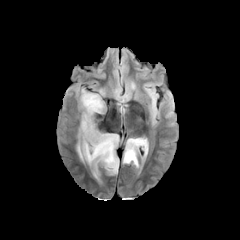
FLAIR MR image.
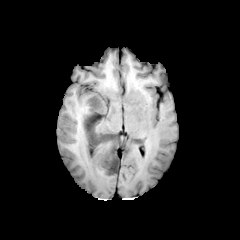
T1-weighted MRI of the same slice.
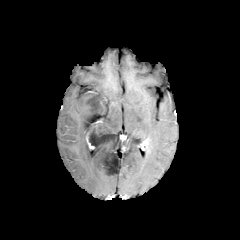
Post-contrast T1-weighted MR.
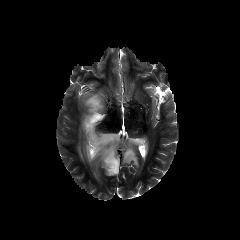
Same slice, T2-weighted MRI.
Brain
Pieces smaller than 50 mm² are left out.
necrotic_tumor_core:
  - <box>104,151,118,173</box>
  - <box>84,112,114,152</box>
peritumoral_edema:
  - <box>123,138,148,167</box>
  - <box>77,90,119,178</box>